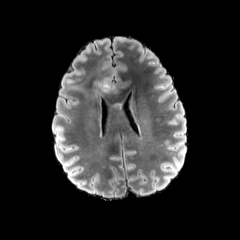
FLAIR MR.
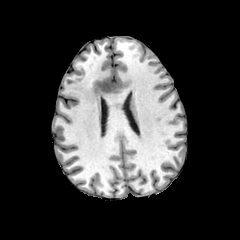
T1-weighted MR image.
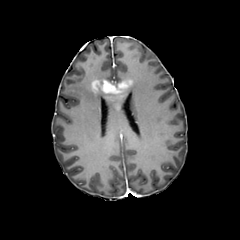
Post-contrast T1-weighted MRI of the same slice.
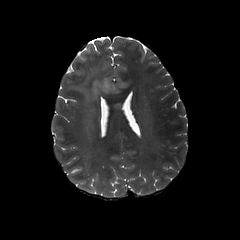
Same slice, T2-weighted MRI.
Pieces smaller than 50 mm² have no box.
Findings:
• peritumoral edema: rect(69, 59, 102, 116)
• enhancing tumor: rect(89, 78, 133, 109)